Slice 63/155; Axial plane
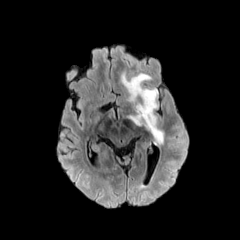
FLAIR MR image.
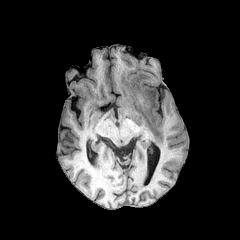
T1-weighted MRI.
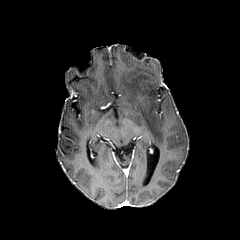
Post-contrast T1-weighted magnetic resonance.
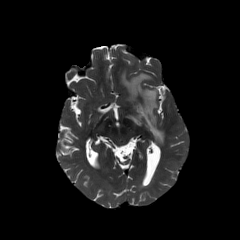
T2-weighted MRI.
* peritumoral edema: rect(121, 73, 163, 144)